Brain. Image covers 240 mm x 240 mm.
FLAIR MR image.
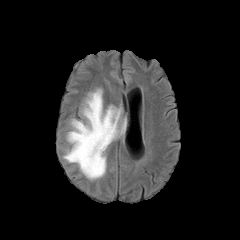
T1-weighted MRI.
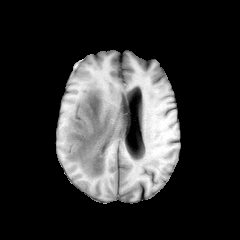
Post-contrast T1-weighted MR.
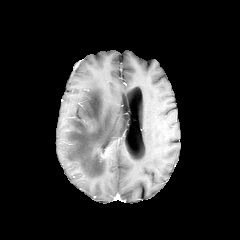
T2-weighted MR.
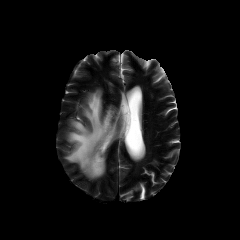
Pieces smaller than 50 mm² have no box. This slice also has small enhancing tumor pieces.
The peritumoral edema appears at 64 89 126 179.